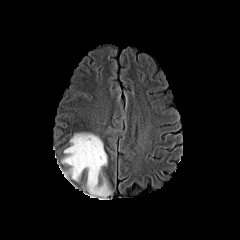
FLAIR MR image.
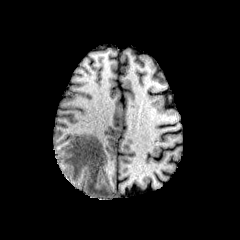
T1-weighted MRI.
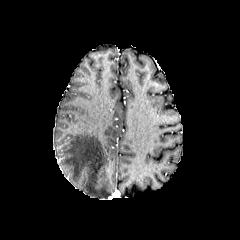
Post-contrast T1-weighted MR image.
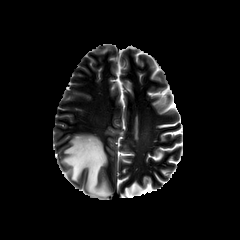
T2-weighted MR image.
peritumoral edema = x1=62, y1=133, x2=111, y2=198